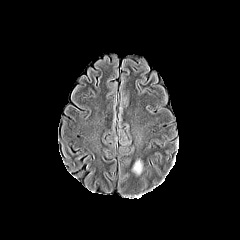
FLAIR MRI.
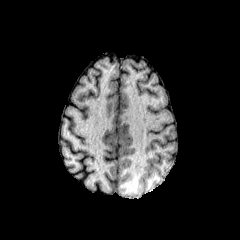
Same slice, T1-weighted MR image.
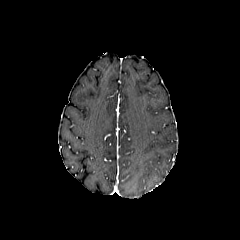
Post-contrast T1-weighted MR.
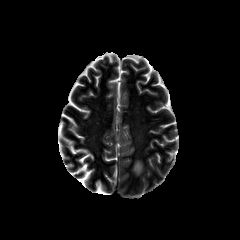
T2-weighted MR.
Head
Findings:
- peritumoral edema: [133, 160, 142, 173]